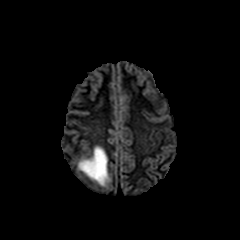
FLAIR MR.
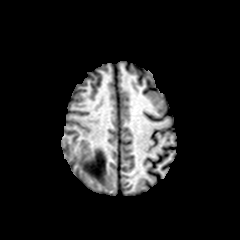
T1-weighted MRI of the same slice.
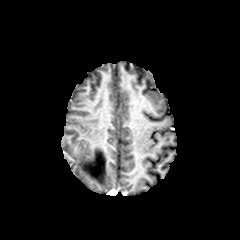
Post-contrast T1-weighted MR image.
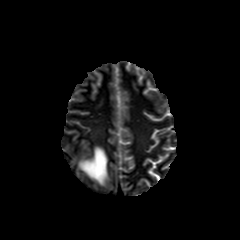
T2-weighted MR image of the same slice.
Head
peritumoral edema — [x1=78, y1=146, x2=110, y2=186]